FLAIR MRI.
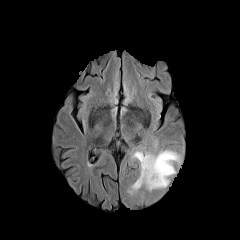
T1-weighted MR image.
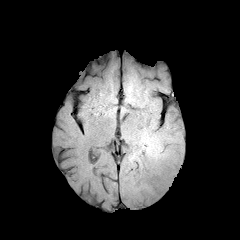
Post-contrast T1-weighted MR.
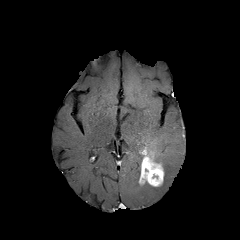
T2-weighted MR.
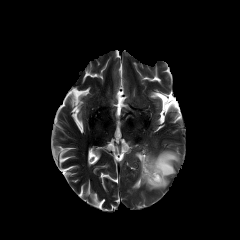
Brain
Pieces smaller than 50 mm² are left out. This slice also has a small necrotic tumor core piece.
enhancing tumor: rect(139, 150, 164, 186)
peritumoral edema: rect(128, 150, 181, 193); rect(133, 150, 142, 174)